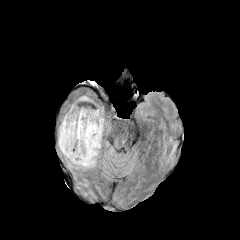
FLAIR magnetic resonance.
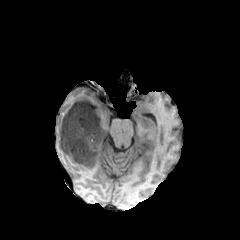
Same slice, T1-weighted MRI.
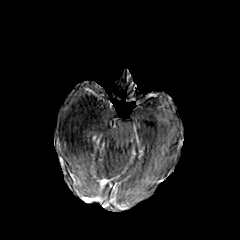
Post-contrast T1-weighted MRI.
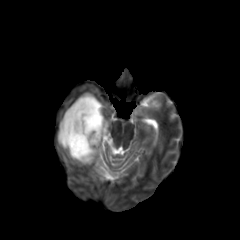
T2-weighted MRI.
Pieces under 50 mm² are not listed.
peritumoral edema: bounding box 58 93 107 169
enhancing tumor: bounding box 91 135 101 159
necrotic tumor core: bounding box 62 112 99 159